FLAIR MRI.
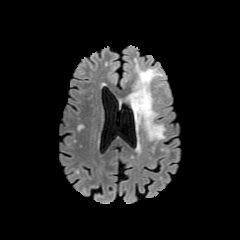
T1-weighted MR image.
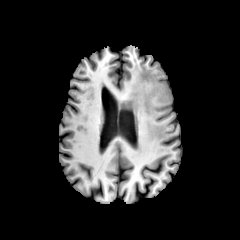
Post-contrast T1-weighted magnetic resonance.
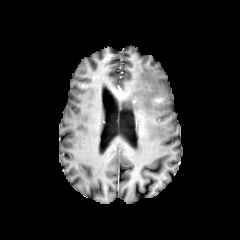
T2-weighted MR.
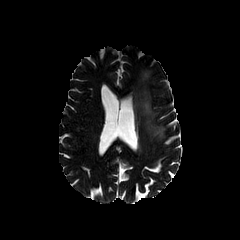
Head | Axial plane
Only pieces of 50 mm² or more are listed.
• peritumoral edema: 125 59 165 140
• enhancing tumor: 151 95 163 104